Image size 240x240. Head. Slice index 114.
FLAIR MRI.
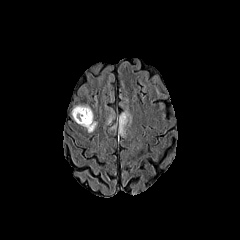
T1-weighted MR image.
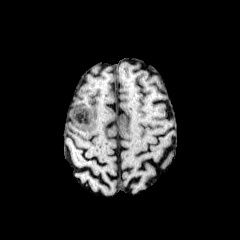
Post-contrast T1-weighted magnetic resonance.
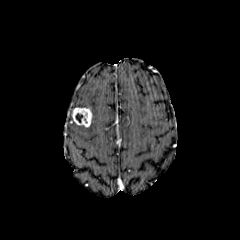
T2-weighted magnetic resonance.
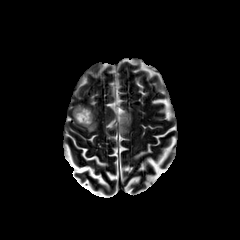
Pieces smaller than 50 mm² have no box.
Findings:
* enhancing tumor: {"x1": 71, "y1": 107, "x2": 92, "y2": 127}
* necrotic tumor core: {"x1": 75, "y1": 113, "x2": 83, "y2": 122}
* peritumoral edema: {"x1": 86, "y1": 115, "x2": 96, "y2": 132}, {"x1": 119, "y1": 110, "x2": 131, "y2": 136}